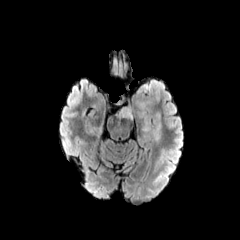
FLAIR MR.
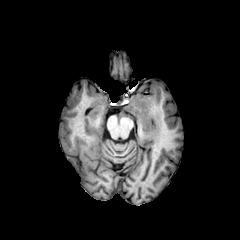
T1-weighted MR image.
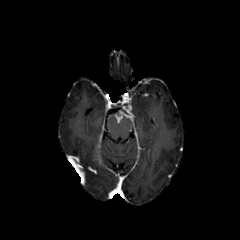
Same slice, post-contrast T1-weighted MR image.
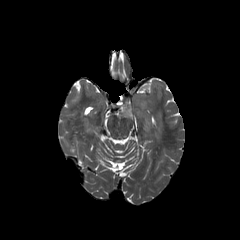
T2-weighted MR image.
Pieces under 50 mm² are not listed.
The largest peritumoral edema region is located at box=[135, 98, 161, 139]. The enhancing tumor is located at box=[115, 100, 131, 122].